FLAIR MRI.
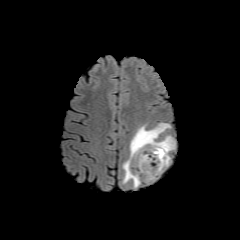
T1-weighted MR.
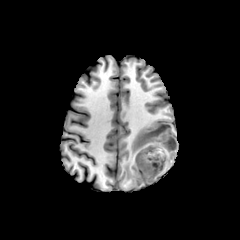
Post-contrast T1-weighted magnetic resonance.
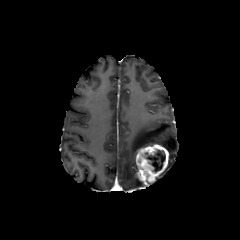
T2-weighted MRI.
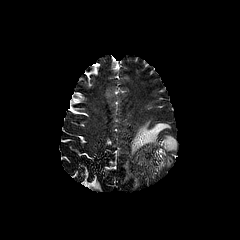
Brain, Axial view
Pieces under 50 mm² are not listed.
The enhancing tumor is bounded by {"x1": 135, "y1": 142, "x2": 168, "y2": 184}. The largest necrotic tumor core region appears at {"x1": 147, "y1": 150, "x2": 165, "y2": 171}. The largest peritumoral edema region is at {"x1": 123, "y1": 123, "x2": 175, "y2": 187}.